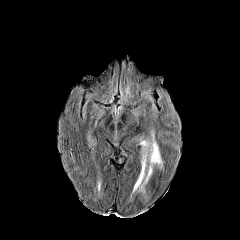
FLAIR MR.
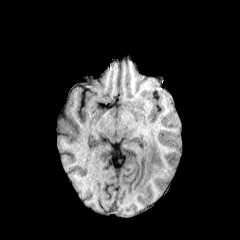
Same slice, T1-weighted MRI.
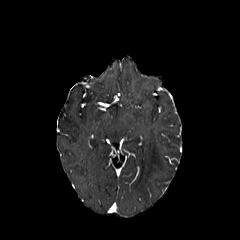
Post-contrast T1-weighted MR image of the same slice.
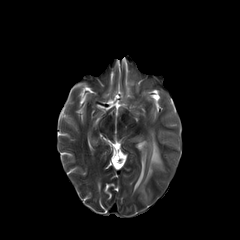
T2-weighted MRI.
Brain
peritumoral edema: (133,130,162,193)